FLAIR MRI.
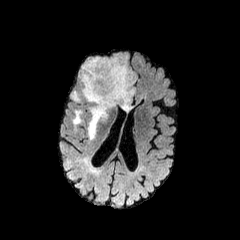
T1-weighted MR.
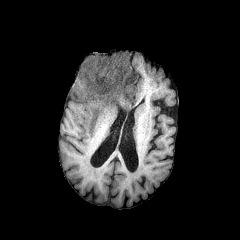
Post-contrast T1-weighted MR.
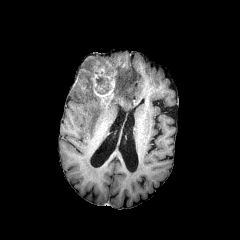
T2-weighted MRI.
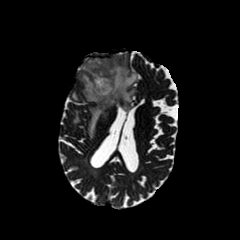
Axial view. Head.
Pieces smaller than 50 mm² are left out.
peritumoral edema: <box>72,91,79,101</box>, <box>81,53,136,139</box>, <box>73,111,81,125</box>
necrotic tumor core: <box>96,76,109,94</box>
enhancing tumor: <box>88,56,126,106</box>